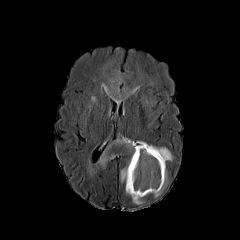
FLAIR MRI.
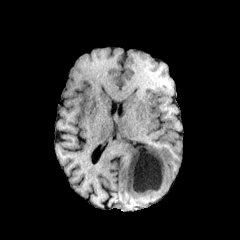
T1-weighted magnetic resonance of the same slice.
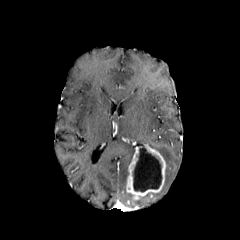
Same slice, post-contrast T1-weighted MR image.
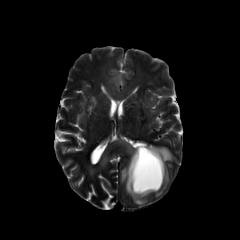
Same slice, T2-weighted MR image.
Axial view, 240x240 px, Head
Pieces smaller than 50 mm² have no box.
<segmentation>
  <enhancing_tumor>[x1=126, y1=144, x2=165, y2=199]</enhancing_tumor>
  <peritumoral_edema>[x1=98, y1=140, x2=135, y2=167], [x1=110, y1=71, x2=129, y2=98], [x1=149, y1=145, x2=173, y2=161], [x1=148, y1=169, x2=168, y2=196], [x1=127, y1=193, x2=144, y2=204], [x1=120, y1=165, x2=128, y2=190]</peritumoral_edema>
  <necrotic_tumor_core>[x1=133, y1=144, x2=161, y2=192]</necrotic_tumor_core>
</segmentation>